Slice 51 of 155. Image covers 240 mm x 240 mm.
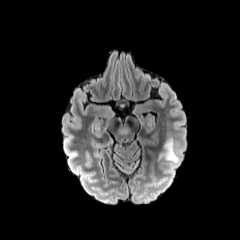
FLAIR magnetic resonance.
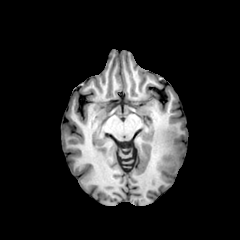
T1-weighted MRI.
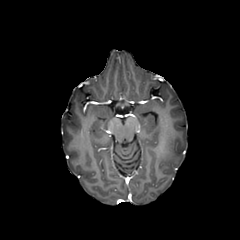
Same slice, post-contrast T1-weighted MR.
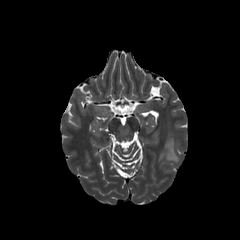
T2-weighted MR image of the same slice.
peritumoral_edema:
  - 160,138,179,167